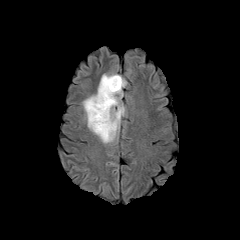
FLAIR MR.
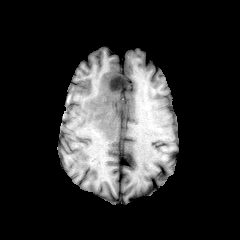
T1-weighted MRI.
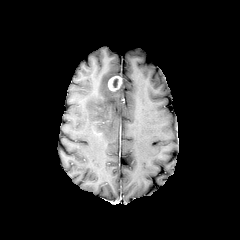
Post-contrast T1-weighted magnetic resonance of the same slice.
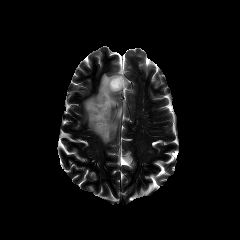
T2-weighted magnetic resonance.
Axial view
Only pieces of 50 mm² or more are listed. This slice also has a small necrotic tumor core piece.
{"peritumoral_edema": ["(83,73,127,143)"], "enhancing_tumor": ["(108,76,122,91)"]}